240x240, Slice 83 of 155, Head, Axial view
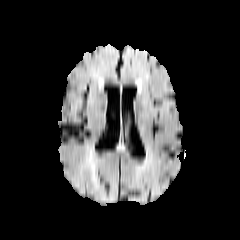
FLAIR MR.
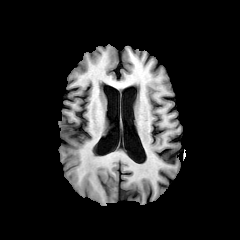
T1-weighted MR image of the same slice.
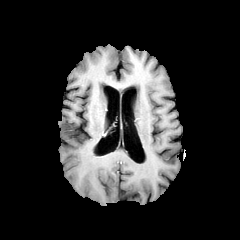
Post-contrast T1-weighted MR.
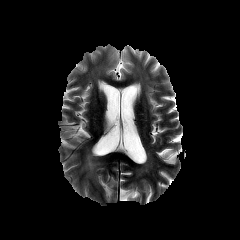
Same slice, T2-weighted MRI.
The peritumoral edema is bounded by left=85, top=152, right=95, bottom=182.